Axial plane. Slice 107 of 155. Image width 240 mm, 1.00 mm slice spacing.
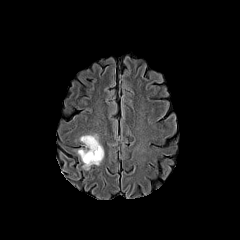
FLAIR MR.
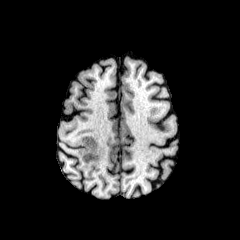
Same slice, T1-weighted MRI.
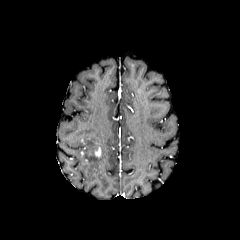
Post-contrast T1-weighted MR image.
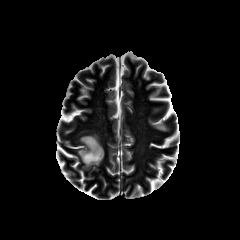
T2-weighted MR image.
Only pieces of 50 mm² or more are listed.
enhancing tumor: {"x1": 94, "y1": 147, "x2": 101, "y2": 157} | peritumoral edema: {"x1": 77, "y1": 134, "x2": 104, "y2": 169}